Brain | Axial plane
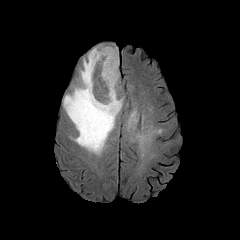
FLAIR MR.
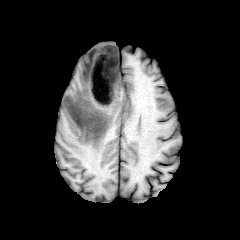
T1-weighted MR image.
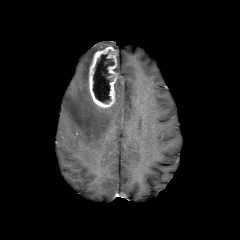
Post-contrast T1-weighted MRI of the same slice.
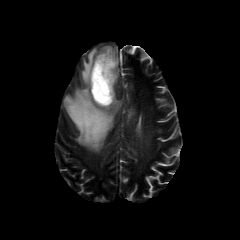
T2-weighted MR image of the same slice.
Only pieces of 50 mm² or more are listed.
Findings:
• necrotic tumor core: l=93, t=54, r=114, b=103
• enhancing tumor: l=88, t=46, r=118, b=107
• peritumoral edema: l=63, t=46, r=123, b=153; l=129, t=111, r=135, b=122